Axial slice | Image width 240 mm | Head
FLAIR MR.
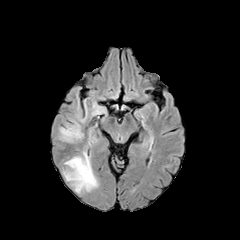
T1-weighted MRI.
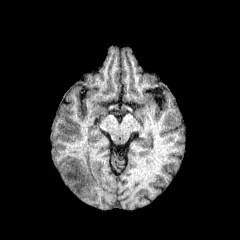
Post-contrast T1-weighted magnetic resonance.
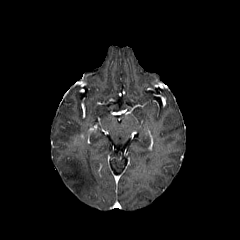
T2-weighted MR image.
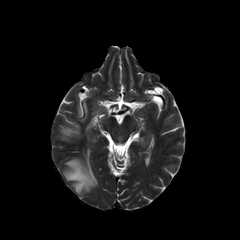
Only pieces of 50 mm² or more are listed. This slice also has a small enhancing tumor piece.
peritumoral edema: x1=59, y1=121, x2=82, y2=142; x1=63, y1=151, x2=98, y2=193